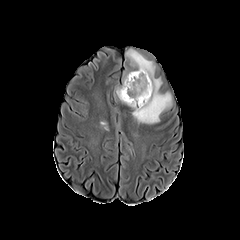
FLAIR MRI.
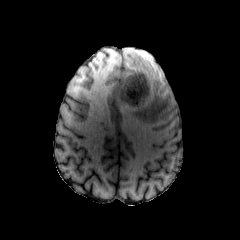
T1-weighted magnetic resonance.
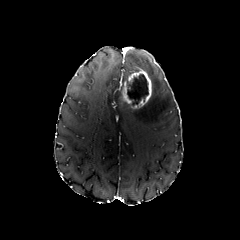
Same slice, post-contrast T1-weighted MR image.
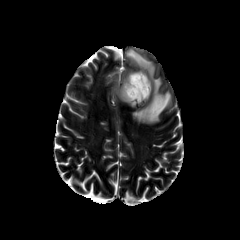
T2-weighted MR image.
Image size 240x240 | Brain
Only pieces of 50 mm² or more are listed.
peritumoral_edema:
  - x1=132 y1=79 x2=171 y2=124
  - x1=132 y1=54 x2=152 y2=71
necrotic_tumor_core:
  - x1=127 y1=74 x2=148 y2=105
enhancing_tumor:
  - x1=121 y1=69 x2=151 y2=108